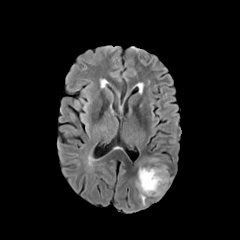
FLAIR MRI.
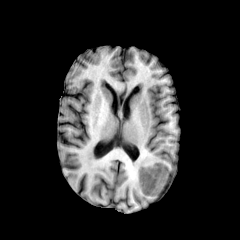
T1-weighted MRI.
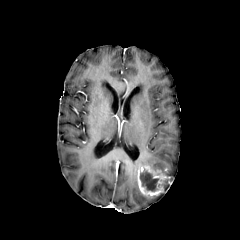
Same slice, post-contrast T1-weighted MRI.
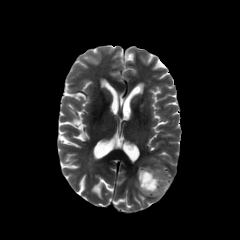
Same slice, T2-weighted MR.
Head
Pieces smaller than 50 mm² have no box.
The largest necrotic tumor core region is bounded by 140,170,158,191. The enhancing tumor lies within 137,165,170,196. The 2 largest peritumoral edema regions are bounded by 139,192,145,205; 147,157,159,162.